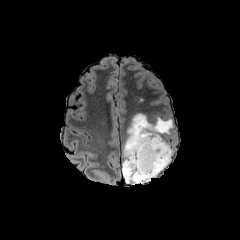
FLAIR MRI.
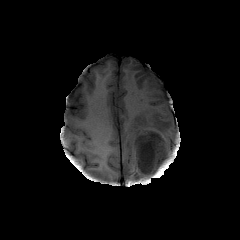
Same slice, T1-weighted MR image.
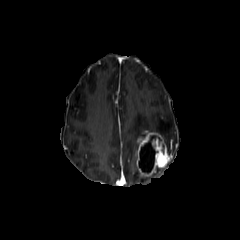
Post-contrast T1-weighted MRI.
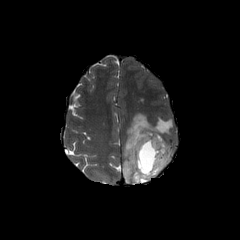
Same slice, T2-weighted MRI.
Image size 240x240 | Axial slice
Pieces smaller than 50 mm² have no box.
The largest necrotic tumor core region is located at rect(138, 135, 155, 173). The largest peritumoral edema region lies within rect(122, 113, 173, 184). The enhancing tumor appears at rect(135, 130, 171, 177).